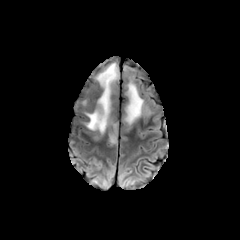
FLAIR MR.
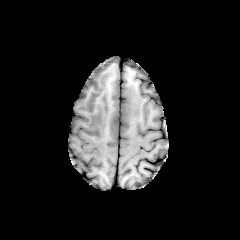
T1-weighted MR.
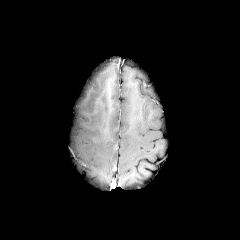
Post-contrast T1-weighted MR image.
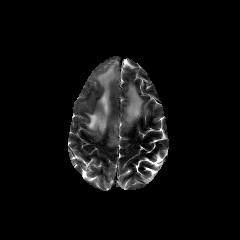
Same slice, T2-weighted magnetic resonance.
peritumoral edema = 79,63,118,148; 120,83,151,141; 81,97,90,105